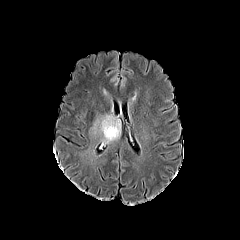
FLAIR magnetic resonance.
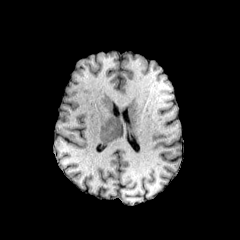
T1-weighted MR image.
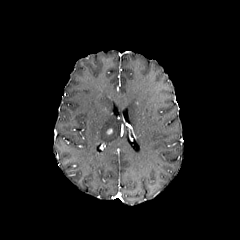
Post-contrast T1-weighted magnetic resonance.
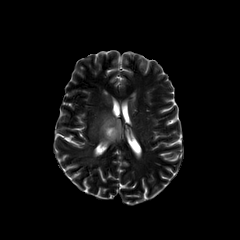
T2-weighted MR image.
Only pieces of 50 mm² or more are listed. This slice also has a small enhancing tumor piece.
peritumoral edema — bbox=[92, 114, 120, 143]